Head, Slice 103 of 155
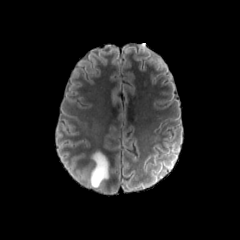
FLAIR MR.
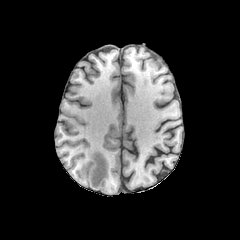
T1-weighted MR.
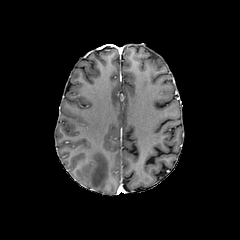
Post-contrast T1-weighted MR image.
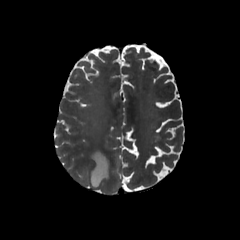
T2-weighted MR of the same slice.
peritumoral edema: (91, 152, 108, 187)